240x240 px | Axial view | Brain
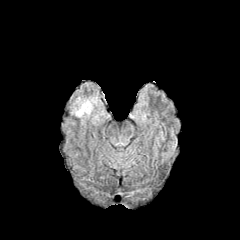
FLAIR MR.
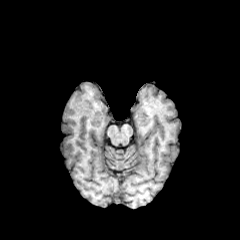
T1-weighted MR image.
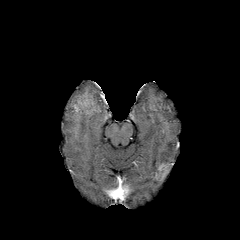
Post-contrast T1-weighted MR image of the same slice.
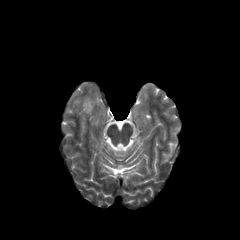
T2-weighted MRI of the same slice.
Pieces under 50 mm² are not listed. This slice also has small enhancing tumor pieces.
peritumoral_edema:
  - x1=71, y1=94, x2=105, y2=124